FLAIR MR.
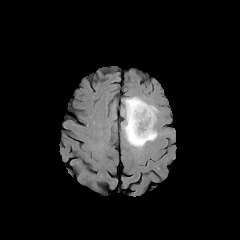
T1-weighted MR.
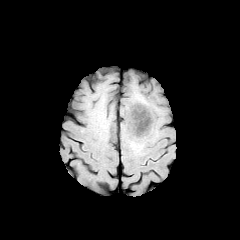
Post-contrast T1-weighted MR.
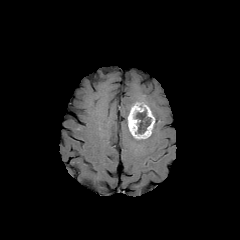
T2-weighted MR.
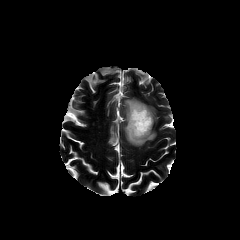
Axial view
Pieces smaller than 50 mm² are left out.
necrotic tumor core = (138,121,149,133)
peritumoral edema = (122,97,158,147)
enhancing tumor = (127,102,155,140)